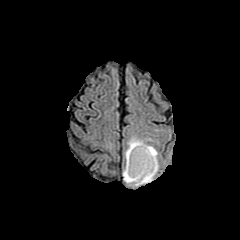
FLAIR magnetic resonance.
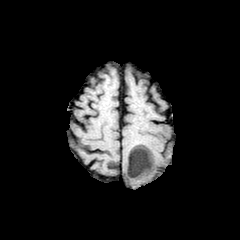
Same slice, T1-weighted MRI.
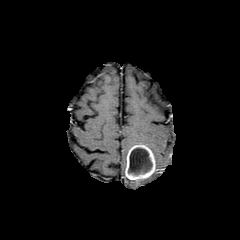
Post-contrast T1-weighted MR.
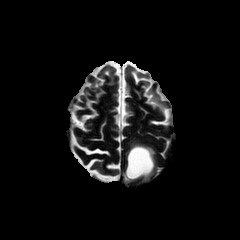
Same slice, T2-weighted MR image.
Brain | Axial plane
enhancing tumor: 125 144 156 180
necrotic tumor core: 128 148 152 174
peritumoral edema: 123 170 156 185, 125 137 158 170